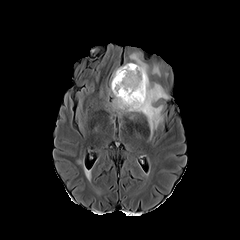
FLAIR MR.
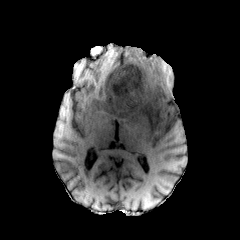
Same slice, T1-weighted MRI.
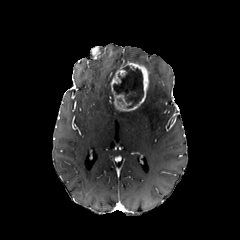
Post-contrast T1-weighted MRI.
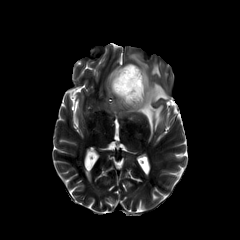
T2-weighted MRI.
240x240 px | Axial plane
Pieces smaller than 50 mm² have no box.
enhancing tumor at 110, 62, 148, 111
necrotic tumor core at 113, 65, 143, 108
peritumoral edema at 111, 103, 130, 114; 152, 65, 159, 75; 133, 83, 168, 138; 130, 53, 148, 69